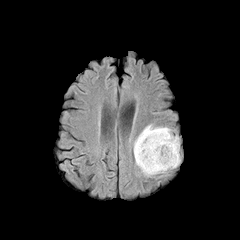
FLAIR MRI.
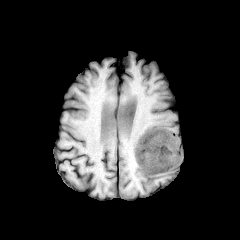
T1-weighted MR image of the same slice.
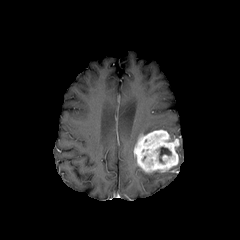
Post-contrast T1-weighted magnetic resonance.
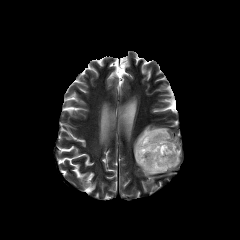
T2-weighted MRI of the same slice.
Head
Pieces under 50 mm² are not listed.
{"enhancing_tumor": [{"x1": 133, "y1": 129, "x2": 179, "y2": 173}], "peritumoral_edema": [{"x1": 139, "y1": 125, "x2": 173, "y2": 140}], "necrotic_tumor_core": [{"x1": 159, "y1": 147, "x2": 171, "y2": 161}]}